FLAIR MRI.
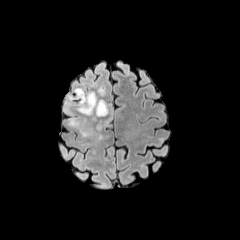
T1-weighted MR.
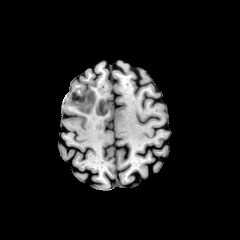
Post-contrast T1-weighted MRI.
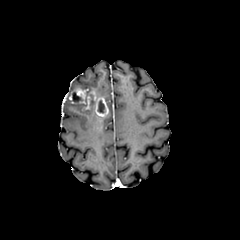
T2-weighted MR image.
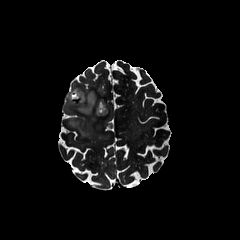
Axial slice | Head
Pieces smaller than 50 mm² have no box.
peritumoral edema: bounding box x1=105, y1=104, x2=112, y2=127; x1=98, y1=87, x2=104, y2=97; x1=66, y1=94, x2=95, y2=115; x1=69, y1=118, x2=94, y2=136
necrotic tumor core: bounding box x1=72, y1=92, x2=82, y2=101; x1=97, y1=100, x2=105, y2=113
enhancing tumor: bounding box x1=69, y1=88, x2=108, y2=116